Axial view, Slice 50 of 155, 240x240 px
FLAIR magnetic resonance.
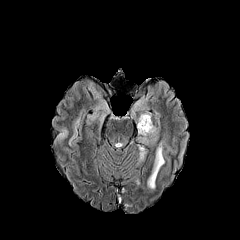
T1-weighted magnetic resonance.
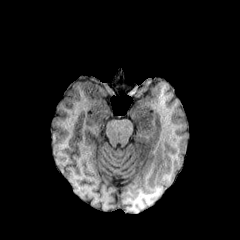
Post-contrast T1-weighted magnetic resonance.
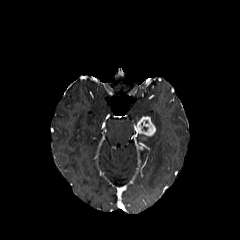
T2-weighted MR image.
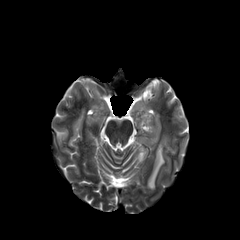
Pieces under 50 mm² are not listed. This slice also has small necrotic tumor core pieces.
- enhancing tumor: bbox(137, 116, 155, 136)
- peritumoral edema: bbox(148, 142, 164, 188)